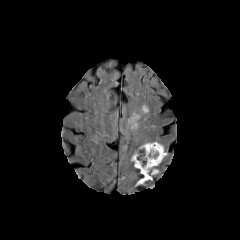
FLAIR MR.
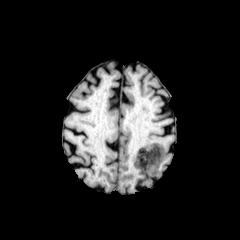
T1-weighted magnetic resonance.
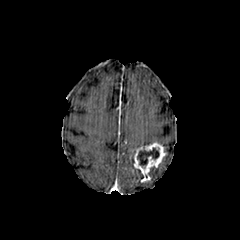
Post-contrast T1-weighted MR image.
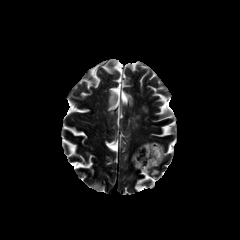
T2-weighted MR.
Axial view, Head
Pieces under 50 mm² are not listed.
necrotic_tumor_core:
  - left=137, top=148, right=159, bottom=165
peritumoral_edema:
  - left=149, top=167, right=159, bottom=180
enhancing_tumor:
  - left=134, top=142, right=166, bottom=182